Image size 240x240. Brain. Image width 240 mm, 1.00 mm slice spacing.
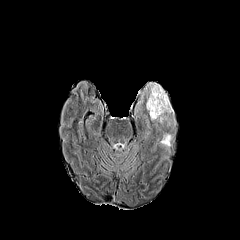
FLAIR magnetic resonance.
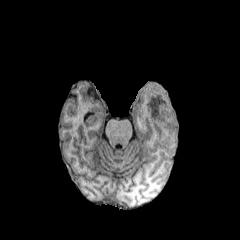
T1-weighted MR of the same slice.
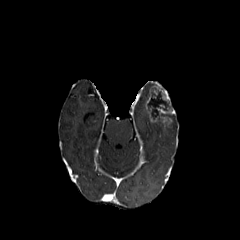
Post-contrast T1-weighted MRI of the same slice.
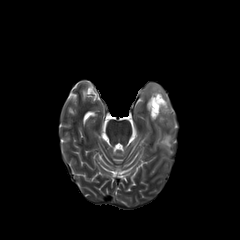
T2-weighted MRI.
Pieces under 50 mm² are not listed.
Findings:
• peritumoral edema: left=160, top=133, right=172, bottom=148; left=145, top=83, right=156, bottom=95; left=161, top=114, right=175, bottom=125
• enhancing tumor: left=145, top=83, right=175, bottom=126
• necrotic tumor core: left=148, top=91, right=169, bottom=119